FLAIR MR image.
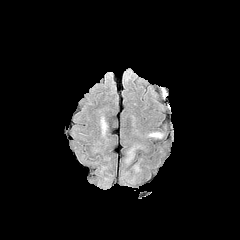
T1-weighted MR.
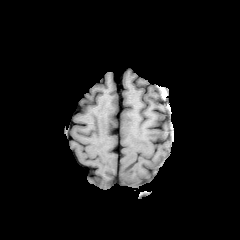
Post-contrast T1-weighted MR image.
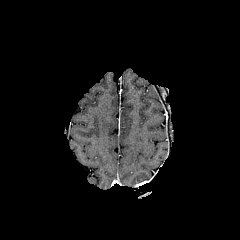
T2-weighted magnetic resonance.
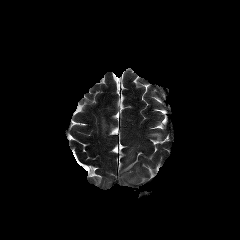
Head | Axial view
peritumoral edema: rect(100, 116, 107, 135); rect(149, 132, 162, 137); rect(127, 149, 133, 161)